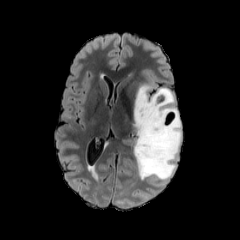
FLAIR MR.
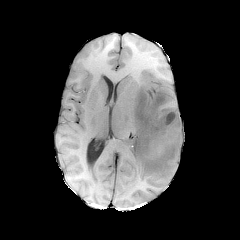
T1-weighted magnetic resonance.
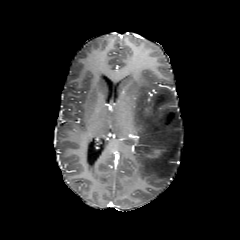
Post-contrast T1-weighted magnetic resonance of the same slice.
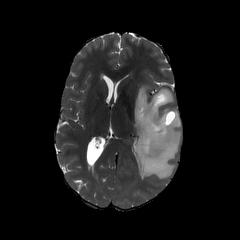
T2-weighted MR.
240x240 px | Axial slice
The peritumoral edema is located at (x1=133, y1=84, x2=181, y2=180). The enhancing tumor appears at (x1=144, y1=148, x2=164, y2=157).